Image size 240x240
FLAIR MR image.
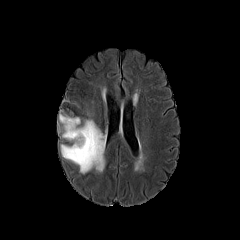
T1-weighted MRI.
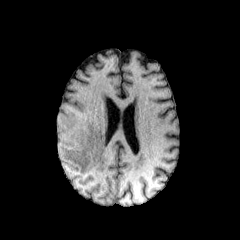
Post-contrast T1-weighted MR image.
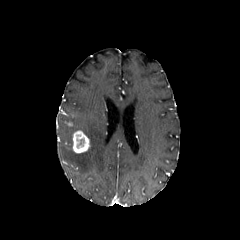
T2-weighted MR image.
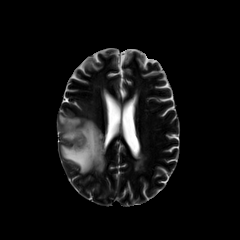
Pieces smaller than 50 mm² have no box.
The peritumoral edema is at [x1=59, y1=114, x2=105, y2=173]. The largest enhancing tumor region is at [x1=72, y1=130, x2=89, y2=153].